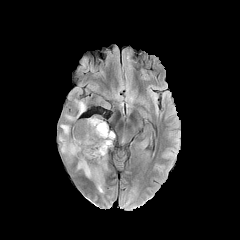
FLAIR magnetic resonance.
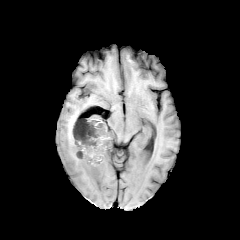
T1-weighted magnetic resonance of the same slice.
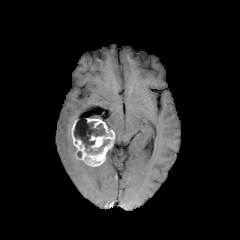
Post-contrast T1-weighted magnetic resonance.
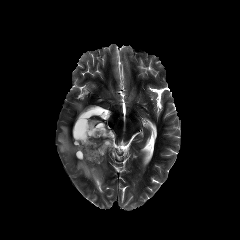
T2-weighted MR image.
Axial plane | Image size 240x240
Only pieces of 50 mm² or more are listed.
peritumoral edema: bounding box 77:160:106:192, 59:124:76:156, 64:100:85:120
necrotic tumor core: bounding box 74:118:110:153
enhancing tumor: bounding box 71:118:115:166